Slice 79/155; Head; Axial slice
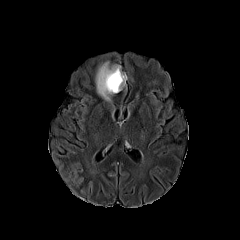
FLAIR MR image.
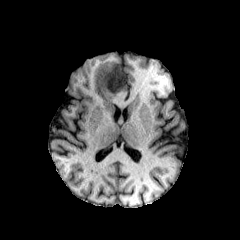
T1-weighted MR of the same slice.
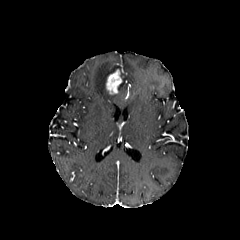
Post-contrast T1-weighted MRI.
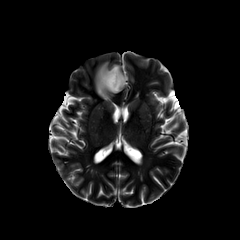
Same slice, T2-weighted MR.
<segmentation>
  <peritumoral_edema>95,61,127,101</peritumoral_edema>
  <enhancing_tumor>106,69,122,94</enhancing_tumor>
</segmentation>